Axial slice. Brain. Slice 127 of 155.
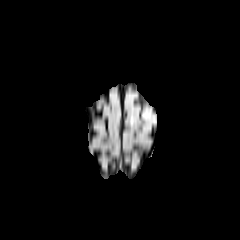
FLAIR MRI.
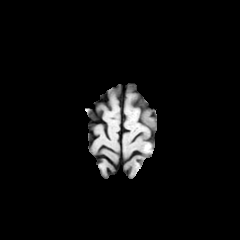
T1-weighted MRI.
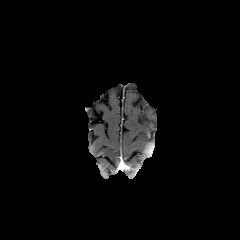
Post-contrast T1-weighted magnetic resonance.
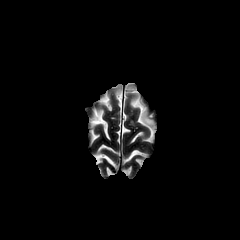
T2-weighted MRI.
peritumoral edema = bbox(142, 108, 154, 128)